FLAIR MRI.
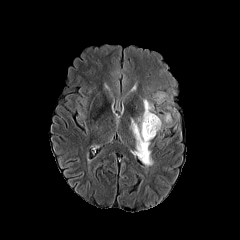
T1-weighted MR.
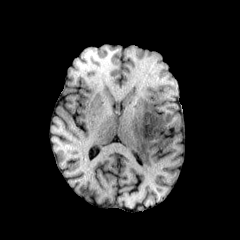
Post-contrast T1-weighted MRI.
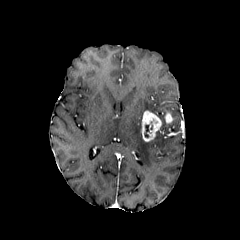
T2-weighted magnetic resonance.
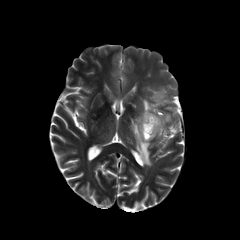
240x240
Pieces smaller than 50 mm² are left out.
The necrotic tumor core appears at 144, 125, 152, 137. 2 enhancing tumor regions are located at 141, 110, 161, 141; 165, 112, 172, 123. The 3 largest peritumoral edema regions appear at 156, 93, 165, 102; 130, 115, 152, 166; 143, 99, 153, 112.